Head. Slice 66/155. 240x240.
FLAIR magnetic resonance.
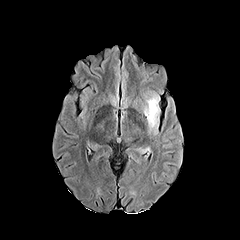
T1-weighted MR image.
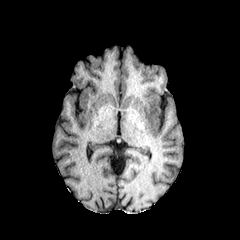
Post-contrast T1-weighted MRI.
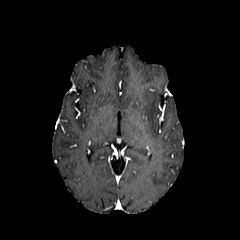
T2-weighted magnetic resonance.
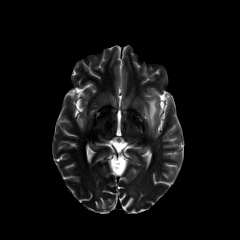
The peritumoral edema is bounded by box=[144, 96, 159, 127].